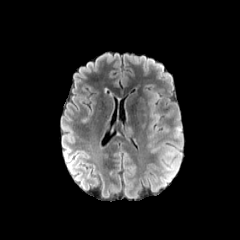
FLAIR MR image.
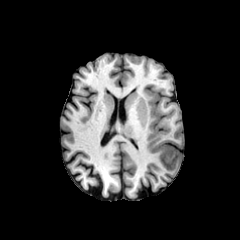
T1-weighted MR image.
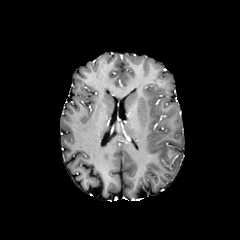
Post-contrast T1-weighted MRI.
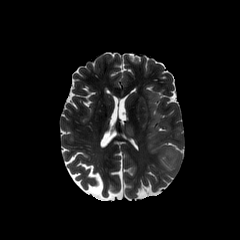
T2-weighted magnetic resonance.
Brain; Axial plane
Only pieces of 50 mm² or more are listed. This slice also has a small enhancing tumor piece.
{
  "peritumoral_edema": [
    "(x1=173, y1=127, x2=183, y2=138)",
    "(x1=158, y1=147, x2=179, y2=175)",
    "(x1=143, y1=86, x2=161, y2=119)"
  ]
}